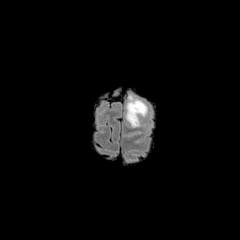
FLAIR magnetic resonance.
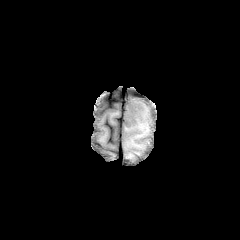
T1-weighted magnetic resonance.
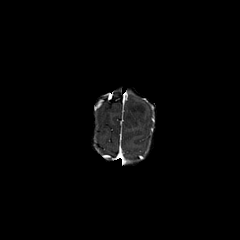
Post-contrast T1-weighted magnetic resonance.
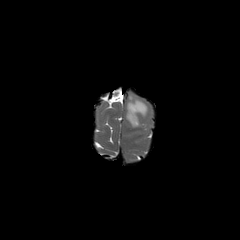
T2-weighted MR image of the same slice.
240x240 px
<segmentation>
  <peritumoral_edema>{"x1": 126, "y1": 96, "x2": 147, "y2": 126}</peritumoral_edema>
</segmentation>